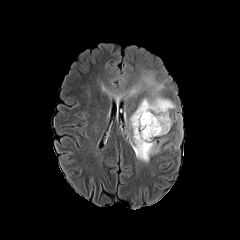
FLAIR MR.
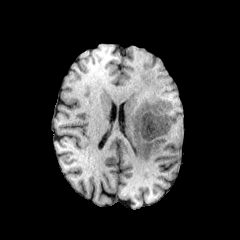
T1-weighted magnetic resonance of the same slice.
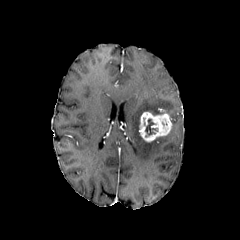
Post-contrast T1-weighted MR.
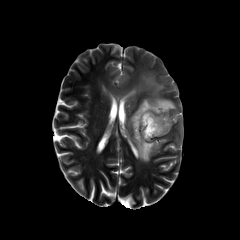
Same slice, T2-weighted MR.
Image size 240x240. Axial slice. Brain.
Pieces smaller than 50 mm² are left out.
{"peritumoral_edema": ["(x1=129, y1=74, x2=175, y2=162)", "(x1=129, y1=85, x2=140, y2=94)"], "enhancing_tumor": ["(x1=139, y1=108, x2=172, y2=142)"], "necrotic_tumor_core": ["(x1=145, y1=119, x2=156, y2=135)"]}